Slice 83/155; 240x240
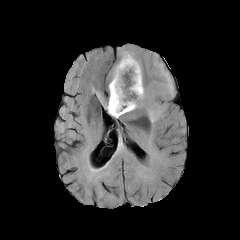
FLAIR magnetic resonance.
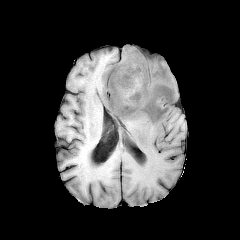
T1-weighted MR image.
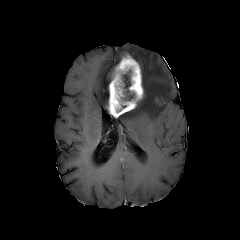
Post-contrast T1-weighted MR image.
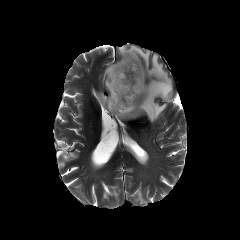
T2-weighted MR.
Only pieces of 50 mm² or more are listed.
peritumoral_edema:
  - [x1=118, y1=46, x2=174, y2=124]
  - [x1=96, y1=92, x2=107, y2=110]
  - [x1=108, y1=61, x2=119, y2=85]
enhancing_tumor:
  - [x1=107, y1=53, x2=143, y2=117]
necrotic_tumor_core:
  - [x1=123, y1=74, x2=134, y2=100]